Slice 66 of 155. Axial plane.
FLAIR MR image.
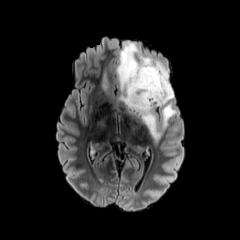
T1-weighted MRI.
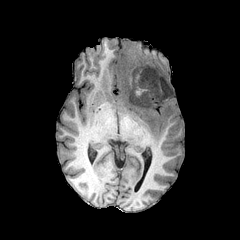
Post-contrast T1-weighted MR.
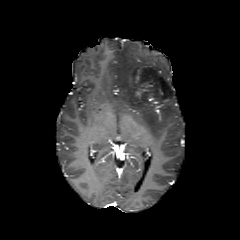
T2-weighted MRI.
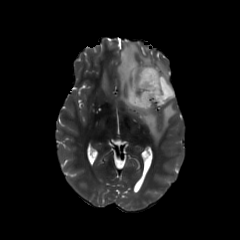
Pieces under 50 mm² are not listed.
The 2 largest peritumoral edema regions are bounded by [116,41,176,140], [102,71,108,89]. The 2 largest enhancing tumor regions appear at [148,94,168,107], [130,69,152,97].